FLAIR MRI.
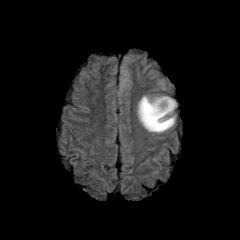
T1-weighted magnetic resonance.
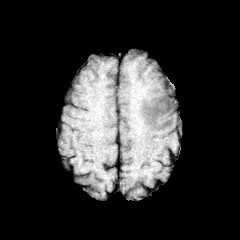
Post-contrast T1-weighted MRI.
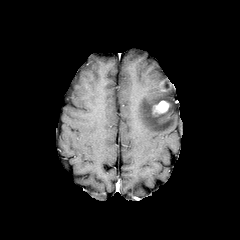
T2-weighted MR.
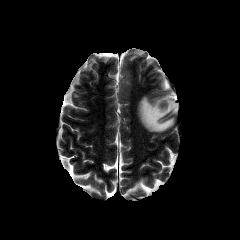
Axial slice.
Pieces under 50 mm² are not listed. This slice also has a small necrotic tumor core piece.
The largest peritumoral edema region lies within left=137, top=96, right=176, bottom=132. The largest enhancing tumor region is at left=153, top=100, right=169, bottom=115.